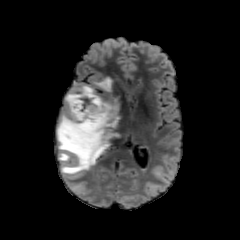
FLAIR MR.
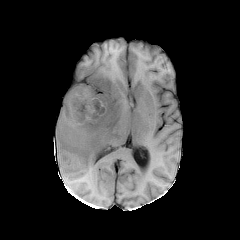
Same slice, T1-weighted MRI.
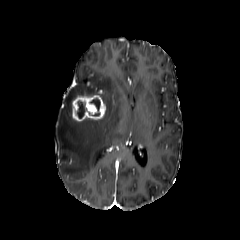
Post-contrast T1-weighted MR image.
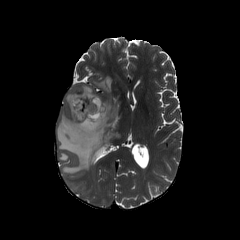
T2-weighted MR.
Head.
enhancing_tumor:
  - box(71, 93, 106, 121)
necrotic_tumor_core:
  - box(77, 98, 100, 118)
peritumoral_edema:
  - box(57, 77, 121, 173)